Image width 240 mm, 1.00 mm slice spacing | Axial view | Brain | 240x240
FLAIR MR.
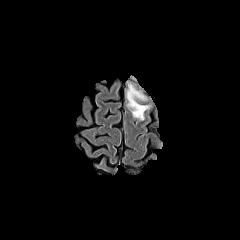
T1-weighted MRI.
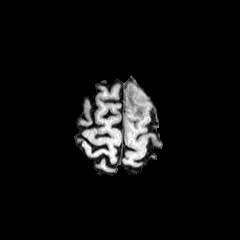
Post-contrast T1-weighted MRI.
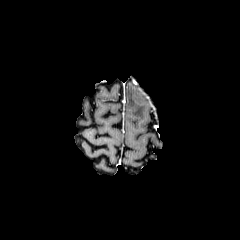
T2-weighted magnetic resonance.
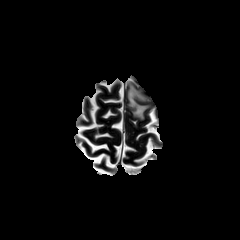
<segmentation>
  <peritumoral_edema>rect(127, 84, 149, 120)</peritumoral_edema>
</segmentation>